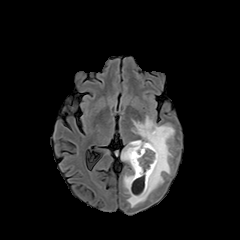
FLAIR MR.
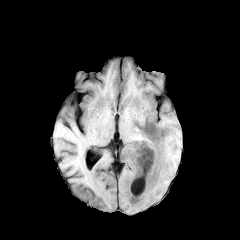
T1-weighted MR.
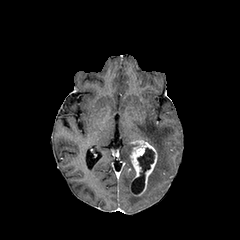
Post-contrast T1-weighted MR image.
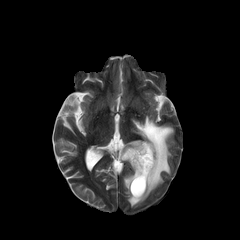
T2-weighted MR image.
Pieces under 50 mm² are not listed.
Annotated regions:
* peritumoral edema: <box>121,116,174,207</box>
* necrotic tumor core: <box>131,148,154,194</box>
* enhancing tumor: <box>130,140,157,195</box>